FLAIR MRI.
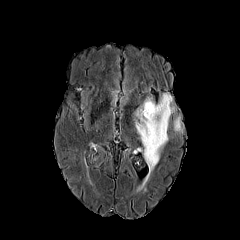
T1-weighted MRI.
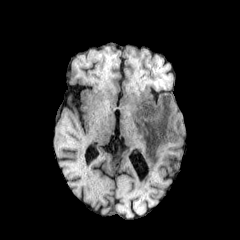
Post-contrast T1-weighted MR image.
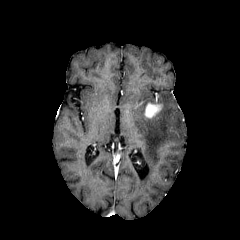
T2-weighted MR.
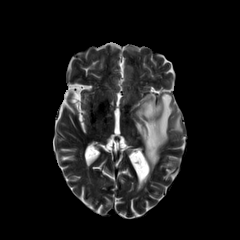
Axial plane. Brain.
<segmentation>
  <peritumoral_edema>x1=135 y1=93 x2=175 y2=172, x1=173 y1=115 x2=182 y2=132</peritumoral_edema>
  <enhancing_tumor>x1=144 y1=102 x2=162 y2=118</enhancing_tumor>
</segmentation>